Axial slice.
FLAIR MRI.
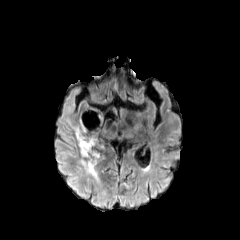
T1-weighted MR.
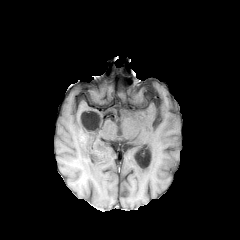
Post-contrast T1-weighted MR.
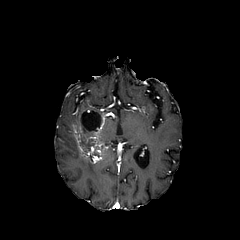
T2-weighted MR.
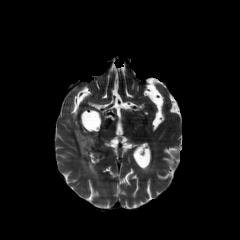
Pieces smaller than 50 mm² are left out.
enhancing tumor: <bbox>73, 106, 110, 163</bbox>
necrotic tumor core: <bbox>80, 111, 100, 131</bbox>, <bbox>75, 126, 92, 152</bbox>
peritumoral edema: <bbox>79, 157, 99, 182</bbox>